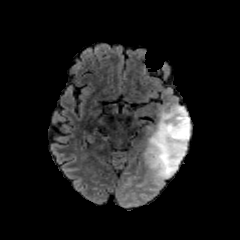
FLAIR MR.
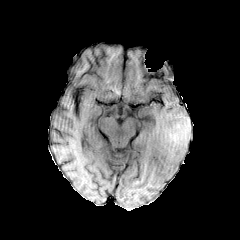
T1-weighted MR image.
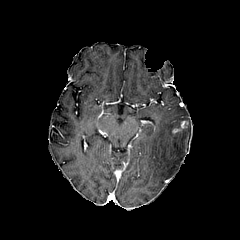
Post-contrast T1-weighted MR image.
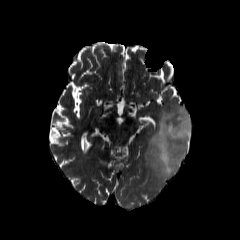
Same slice, T2-weighted MRI.
240x240 px. Axial view. Head.
The enhancing tumor is located at (left=172, top=120, right=188, bottom=133). The peritumoral edema is bounded by (left=144, top=104, right=191, bottom=179).